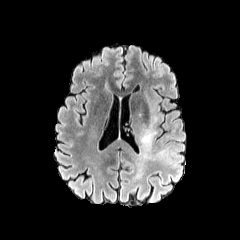
FLAIR MRI.
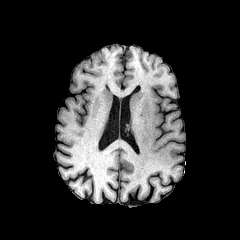
T1-weighted MR.
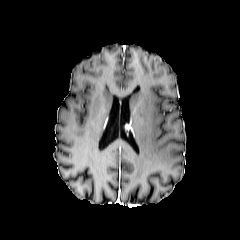
Post-contrast T1-weighted MR.
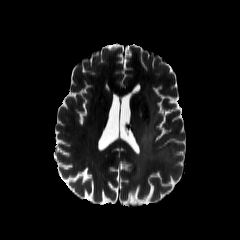
Same slice, T2-weighted magnetic resonance.
Annotated regions:
- peritumoral edema: bbox=[140, 93, 164, 148]